Slice 96 of 155, Image size 240x240
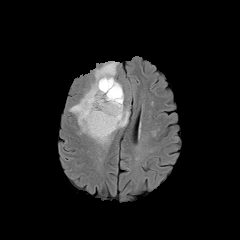
FLAIR MR.
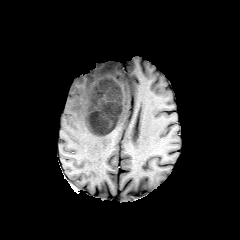
T1-weighted MRI of the same slice.
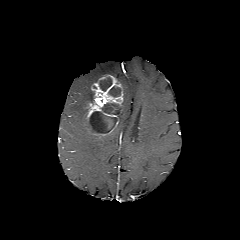
Post-contrast T1-weighted magnetic resonance of the same slice.
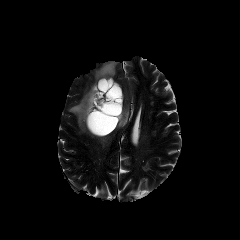
T2-weighted MR of the same slice.
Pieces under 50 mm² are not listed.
enhancing_tumor:
  - [x1=85, y1=75, x2=123, y2=137]
peritumoral_edema:
  - [x1=69, y1=61, x2=129, y2=146]
necrotic_tumor_core:
  - [x1=102, y1=103, x2=120, y2=115]
  - [x1=108, y1=86, x2=121, y2=97]
  - [x1=99, y1=77, x2=111, y2=91]
  - [x1=88, y1=111, x2=117, y2=133]